Axial view, Brain
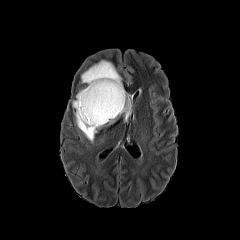
FLAIR magnetic resonance.
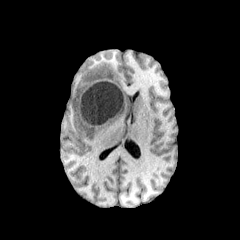
T1-weighted magnetic resonance of the same slice.
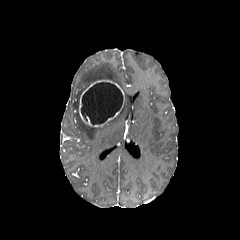
Same slice, post-contrast T1-weighted MRI.
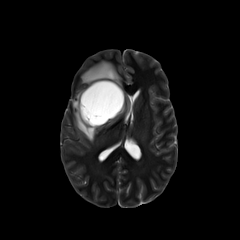
Same slice, T2-weighted MRI.
enhancing tumor: 79, 80, 125, 127 | necrotic tumor core: 81, 82, 123, 125 | peritumoral edema: 81, 58, 131, 125; 72, 88, 101, 142